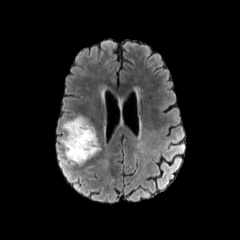
FLAIR magnetic resonance.
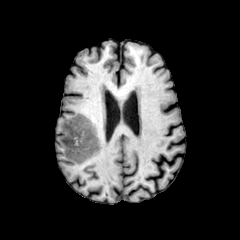
Same slice, T1-weighted MR image.
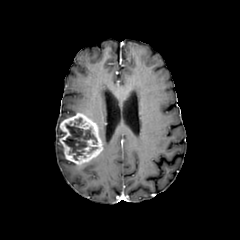
Post-contrast T1-weighted MRI.
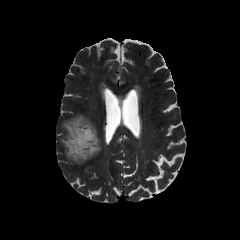
T2-weighted MR.
Brain, 240x240, Axial slice
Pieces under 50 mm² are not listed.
{"enhancing_tumor": [{"x1": 59, "y1": 113, "x2": 102, "y2": 165}], "necrotic_tumor_core": [{"x1": 63, "y1": 118, "x2": 97, "y2": 160}]}